Brain | Axial view | Image width 240 mm, 1.00 mm slice spacing
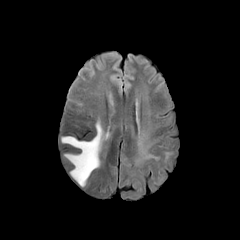
FLAIR MRI.
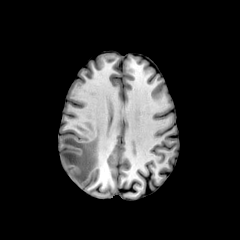
Same slice, T1-weighted MRI.
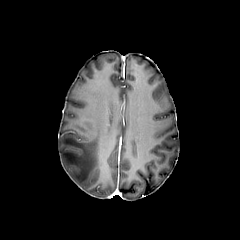
Post-contrast T1-weighted magnetic resonance of the same slice.
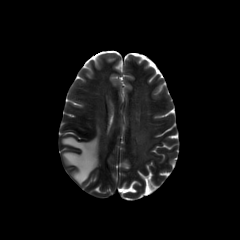
T2-weighted magnetic resonance of the same slice.
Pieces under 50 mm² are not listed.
peritumoral edema at x1=61, y1=122, x2=102, y2=186